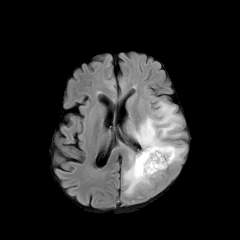
FLAIR MR image.
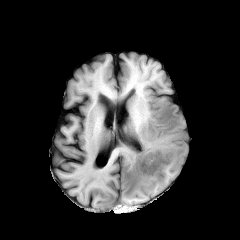
T1-weighted MRI of the same slice.
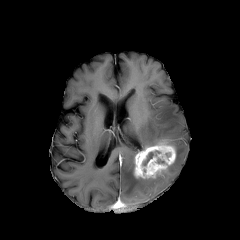
Same slice, post-contrast T1-weighted MR.
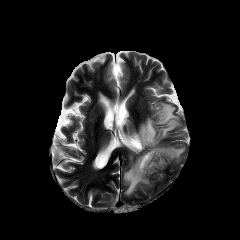
T2-weighted magnetic resonance of the same slice.
240x240 px
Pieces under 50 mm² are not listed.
peritumoral edema = rect(132, 102, 182, 149); rect(123, 152, 155, 195); rect(166, 142, 185, 161)
necrotic tumor core = rect(143, 152, 153, 165)
enhancing tumor = rect(134, 142, 175, 178)